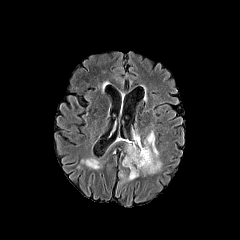
FLAIR MR.
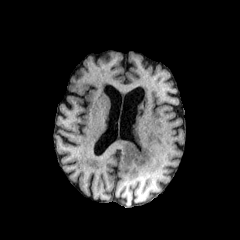
T1-weighted MR image.
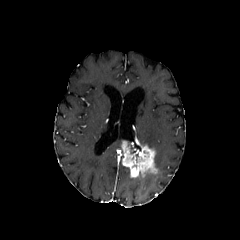
Post-contrast T1-weighted MRI.
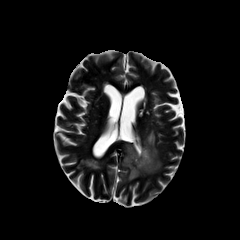
Same slice, T2-weighted MR.
Axial view; Head; 240x240
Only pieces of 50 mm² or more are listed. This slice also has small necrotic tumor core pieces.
enhancing tumor at [121, 138, 157, 177]
peritumoral edema at [143, 130, 161, 170], [119, 171, 134, 182]